Slice index 91. Axial plane. 240x240 px.
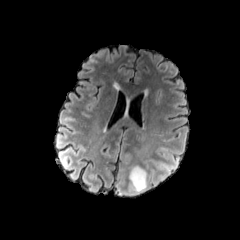
FLAIR MR image.
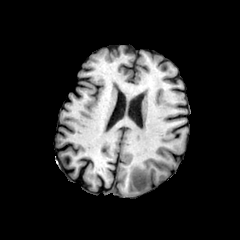
T1-weighted magnetic resonance of the same slice.
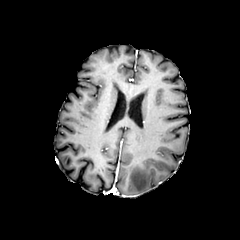
Post-contrast T1-weighted magnetic resonance of the same slice.
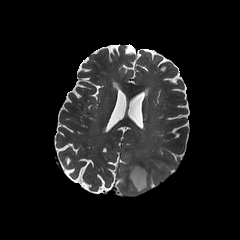
Same slice, T2-weighted MR.
peritumoral edema: 129, 165, 148, 194